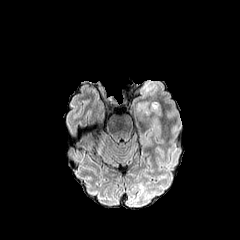
FLAIR magnetic resonance.
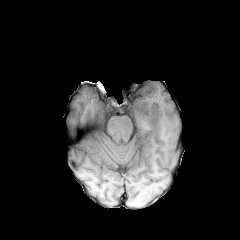
T1-weighted MRI.
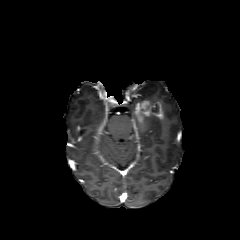
Post-contrast T1-weighted MRI of the same slice.
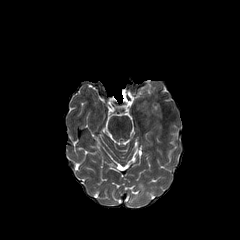
T2-weighted magnetic resonance.
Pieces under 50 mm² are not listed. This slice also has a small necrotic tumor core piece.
enhancing_tumor:
  - [134, 101, 163, 120]